FLAIR magnetic resonance.
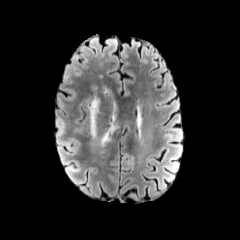
T1-weighted MR image.
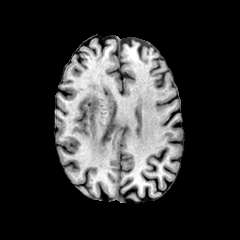
Post-contrast T1-weighted magnetic resonance.
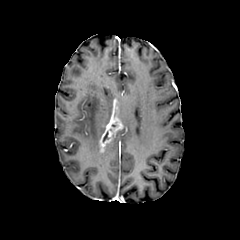
T2-weighted magnetic resonance.
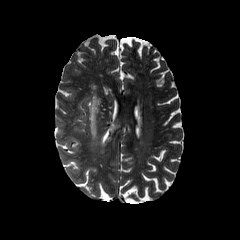
240x240 px, Axial view, Brain
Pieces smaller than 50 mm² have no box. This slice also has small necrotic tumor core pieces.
peritumoral edema = left=88, top=94, right=99, bottom=139
enhancing tumor = left=99, top=116, right=122, bottom=151